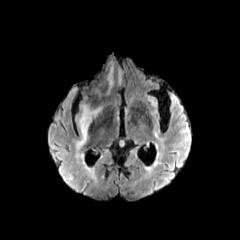
FLAIR MR.
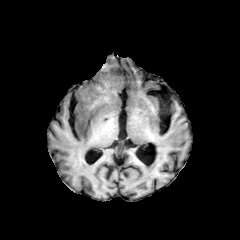
T1-weighted magnetic resonance of the same slice.
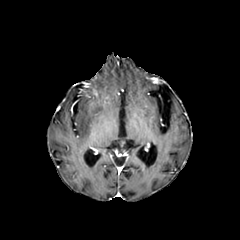
Post-contrast T1-weighted MR.
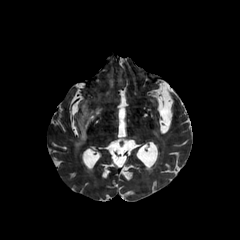
Same slice, T2-weighted MR image.
Axial slice
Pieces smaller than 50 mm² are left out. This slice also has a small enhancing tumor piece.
peritumoral edema — 108, 67, 113, 86; 75, 105, 101, 148